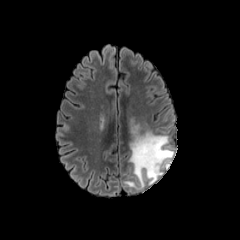
FLAIR MR image.
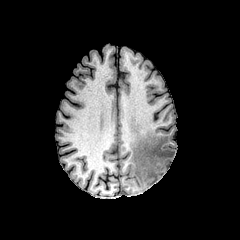
T1-weighted MR image of the same slice.
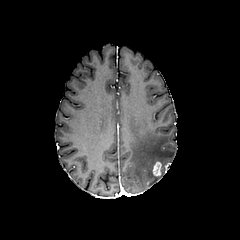
Post-contrast T1-weighted magnetic resonance of the same slice.
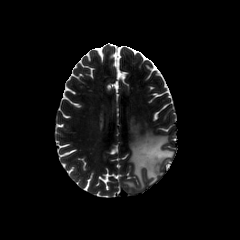
Same slice, T2-weighted MR image.
Axial plane.
The enhancing tumor is located at 152 161 161 176. The peritumoral edema appears at 124 120 174 189.